240x240
FLAIR magnetic resonance.
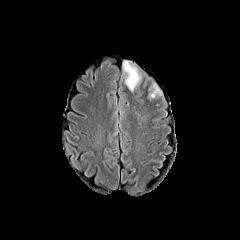
T1-weighted MR image.
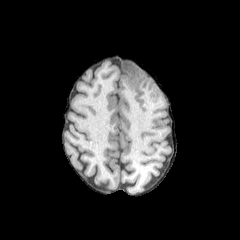
Post-contrast T1-weighted MR image.
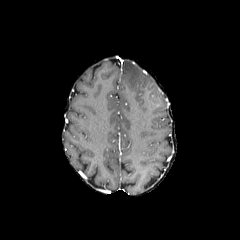
T2-weighted MRI.
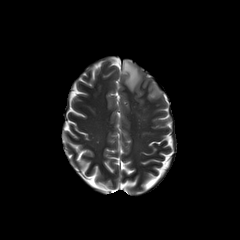
peritumoral edema: l=149, t=84, r=160, b=98; l=122, t=60, r=141, b=91